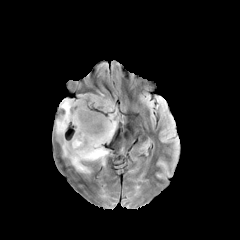
FLAIR MRI.
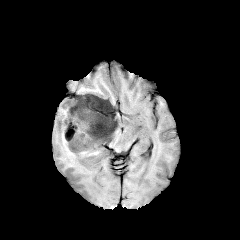
T1-weighted MRI of the same slice.
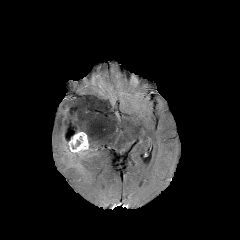
Same slice, post-contrast T1-weighted MR image.
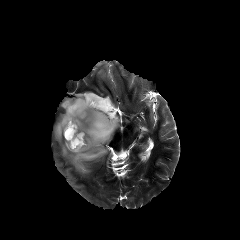
T2-weighted magnetic resonance of the same slice.
240x240
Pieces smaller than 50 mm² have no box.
necrotic tumor core — l=65, t=130, r=76, b=141
enhancing tumor — l=64, t=129, r=89, b=153
peritumoral edema — l=54, t=93, r=119, b=173